Slice 76/155 | 240x240 px
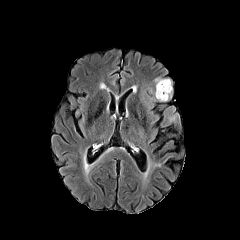
FLAIR MRI.
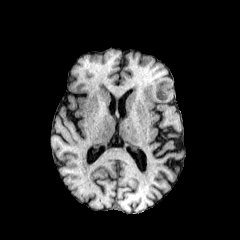
T1-weighted MRI.
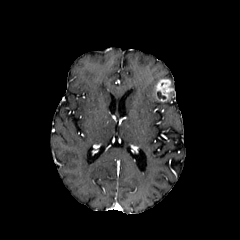
Post-contrast T1-weighted MRI.
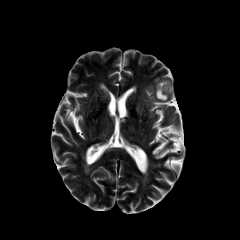
T2-weighted MR image of the same slice.
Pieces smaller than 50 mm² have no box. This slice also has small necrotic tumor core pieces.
enhancing tumor = bbox=[155, 79, 172, 101]
peritumoral edema = bbox=[165, 108, 177, 117]